FLAIR MR image.
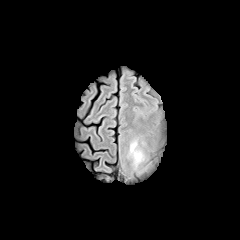
T1-weighted MR image.
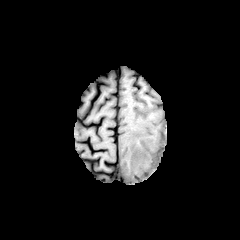
Post-contrast T1-weighted magnetic resonance.
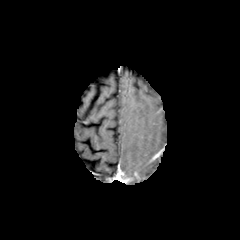
T2-weighted magnetic resonance.
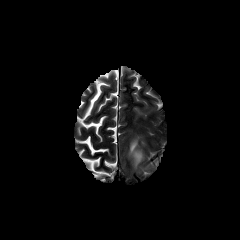
240x240 px. Axial plane.
peritumoral edema: box=[128, 138, 144, 168]